FLAIR MR.
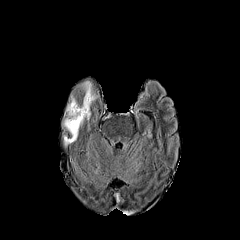
T1-weighted MRI.
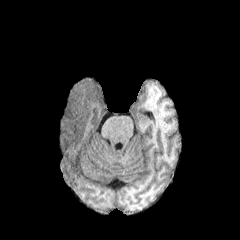
Post-contrast T1-weighted MRI.
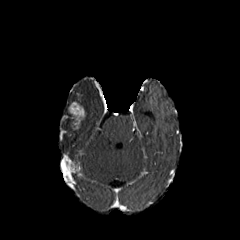
T2-weighted MRI.
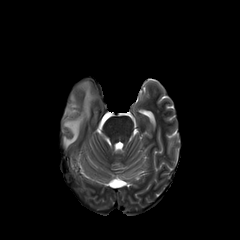
Axial plane. Head.
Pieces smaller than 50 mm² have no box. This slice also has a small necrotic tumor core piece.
enhancing tumor: bounding box 68, 101, 85, 129
peritumoral edema: bounding box 79, 81, 96, 119; 63, 107, 79, 146